Slice index 99, Image covers 240 mm x 240 mm, 240x240
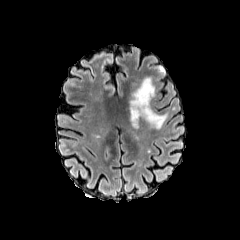
FLAIR magnetic resonance.
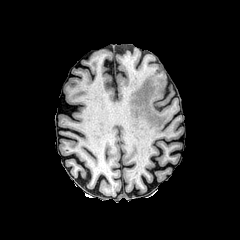
T1-weighted MR image.
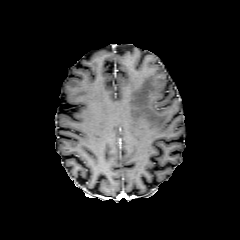
Same slice, post-contrast T1-weighted MRI.
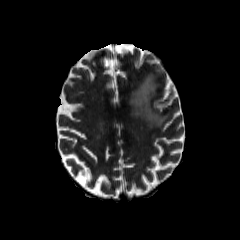
Same slice, T2-weighted magnetic resonance.
The peritumoral edema is bounded by (x1=129, y1=67, x2=167, y2=128).